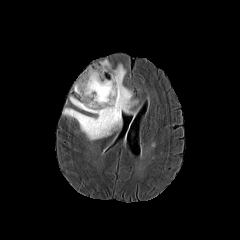
FLAIR MRI.
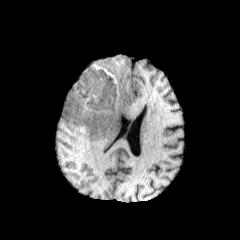
Same slice, T1-weighted MRI.
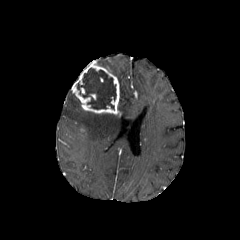
Post-contrast T1-weighted magnetic resonance of the same slice.
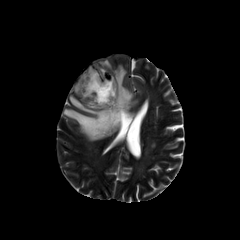
Same slice, T2-weighted MR.
Axial plane
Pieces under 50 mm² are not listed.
The largest enhancing tumor region appears at bbox=[71, 62, 120, 116]. The 3 largest peritumoral edema regions are located at bbox=[69, 95, 82, 109]; bbox=[100, 60, 137, 115]; bbox=[62, 108, 121, 140]. The necrotic tumor core is located at bbox=[77, 68, 116, 110].